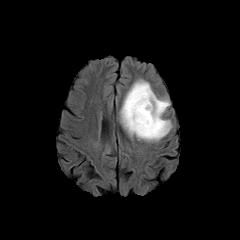
FLAIR MR.
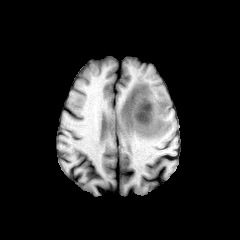
T1-weighted magnetic resonance.
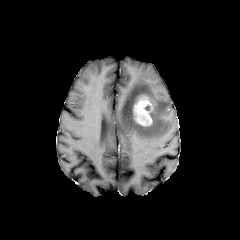
Same slice, post-contrast T1-weighted MR.
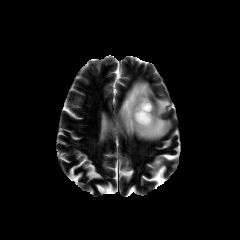
T2-weighted MR.
Head | 240x240 px | Axial view
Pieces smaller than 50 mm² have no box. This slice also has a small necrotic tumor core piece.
• peritumoral edema: region(119, 79, 171, 141)
• enhancing tumor: region(133, 95, 153, 126)